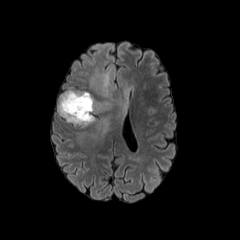
FLAIR magnetic resonance.
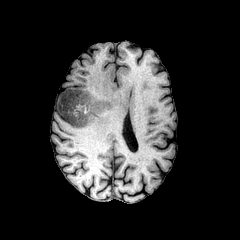
T1-weighted MR.
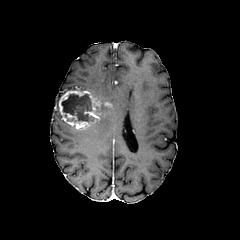
Same slice, post-contrast T1-weighted MR.
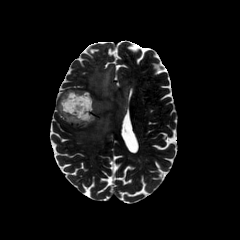
T2-weighted MRI.
Axial view
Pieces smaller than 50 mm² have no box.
The largest necrotic tumor core region is located at 61, 94, 93, 121. The largest enhancing tumor region is at 58, 89, 101, 129. The largest peritumoral edema region appears at 89, 51, 129, 132.